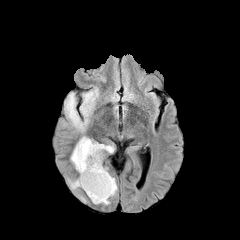
FLAIR magnetic resonance.
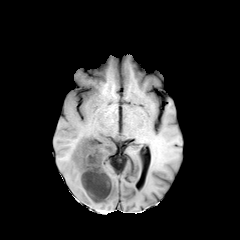
T1-weighted MRI.
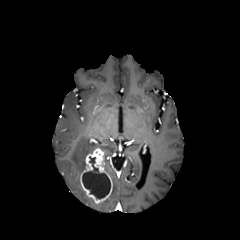
Same slice, post-contrast T1-weighted MR.
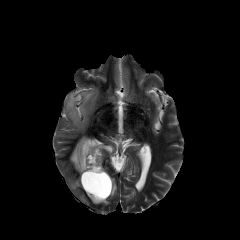
T2-weighted MR image.
Brain.
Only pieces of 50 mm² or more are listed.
The necrotic tumor core appears at <bbox>82, 157, 110, 198</bbox>. The enhancing tumor appears at <bbox>80, 148, 112, 203</bbox>. The 4 largest peritumoral edema regions are located at <bbox>65, 90, 97, 131</bbox>, <bbox>110, 175, 116, 197</bbox>, <bbox>70, 177, 81, 189</bbox>, <bbox>70, 136, 114, 174</bbox>.